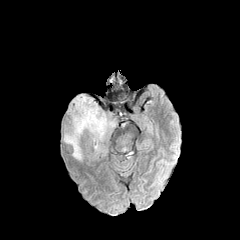
FLAIR magnetic resonance.
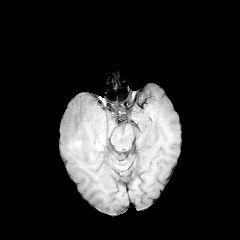
T1-weighted magnetic resonance.
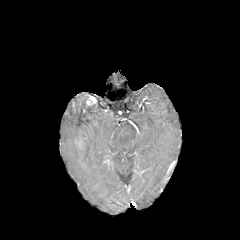
Same slice, post-contrast T1-weighted magnetic resonance.
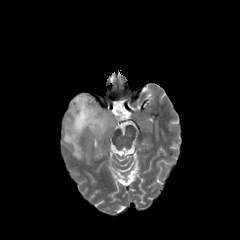
T2-weighted magnetic resonance.
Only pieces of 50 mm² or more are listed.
The largest peritumoral edema region lies within (64, 94, 106, 159). The enhancing tumor is located at (86, 95, 96, 106).